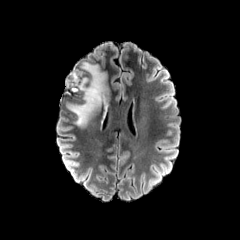
FLAIR MR image.
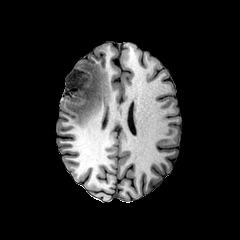
T1-weighted magnetic resonance.
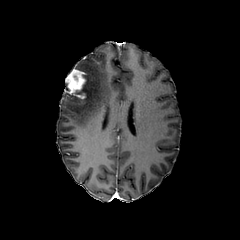
Post-contrast T1-weighted MR image of the same slice.
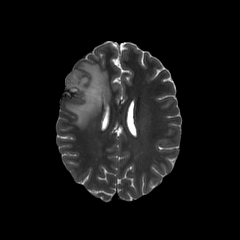
Same slice, T2-weighted magnetic resonance.
Brain, 240x240 px
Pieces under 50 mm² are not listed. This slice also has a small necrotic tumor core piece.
<segmentation>
  <peritumoral_edema>(x1=66, y1=63, x2=108, y2=126)</peritumoral_edema>
  <enhancing_tumor>(x1=65, y1=68, x2=86, y2=98)</enhancing_tumor>
</segmentation>